FLAIR MR image.
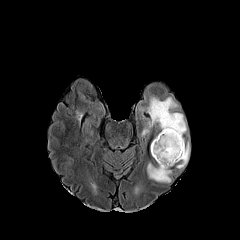
T1-weighted magnetic resonance.
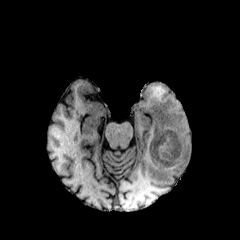
Post-contrast T1-weighted MRI.
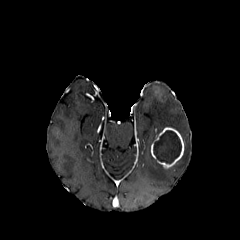
T2-weighted MR image.
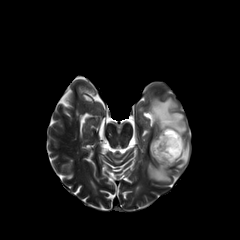
Image size 240x240
peritumoral edema: bounding box (176,140,190,168), (147,161,171,184), (139,96,187,143)
necrotic tumor core: bounding box (153,130,181,163)
enhancing tumor: bounding box (151,127,184,168)